FLAIR MRI.
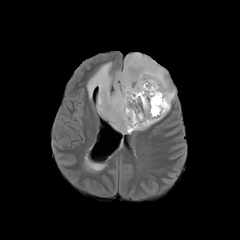
T1-weighted MR.
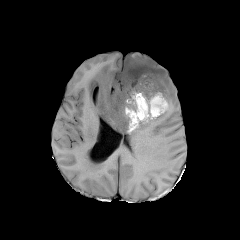
Post-contrast T1-weighted MR.
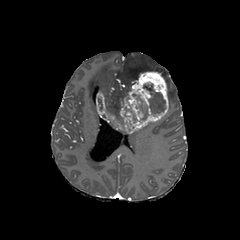
T2-weighted MR image.
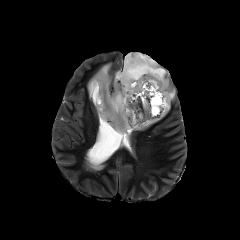
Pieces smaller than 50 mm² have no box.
The largest peritumoral edema region lies within region(87, 52, 175, 112). The 2 largest necrotic tumor core regions appear at region(143, 84, 165, 115); region(136, 95, 148, 120). The largest enhancing tumor region is bounded by region(96, 71, 168, 133).